Brain. Slice index 114.
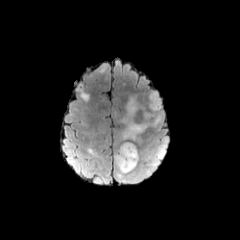
FLAIR MRI.
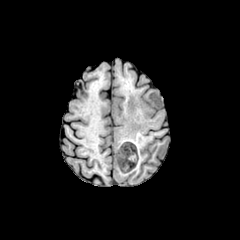
T1-weighted MR.
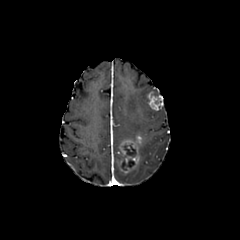
Post-contrast T1-weighted MRI.
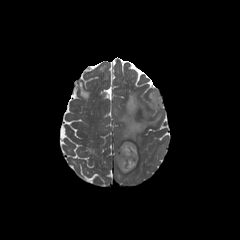
Same slice, T2-weighted MR.
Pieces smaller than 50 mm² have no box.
necrotic tumor core = box=[120, 144, 136, 170]
peritumoral edema = box=[152, 110, 162, 124]; box=[122, 97, 147, 140]; box=[114, 152, 140, 182]; box=[156, 144, 165, 158]
enhancing tumor = box=[116, 136, 141, 173]; box=[148, 91, 162, 110]